Brain; Axial plane; Slice 56/155
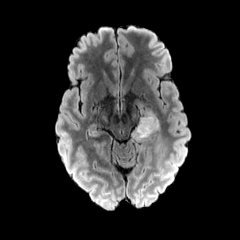
FLAIR MRI.
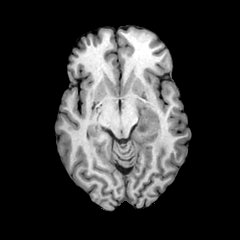
T1-weighted MRI.
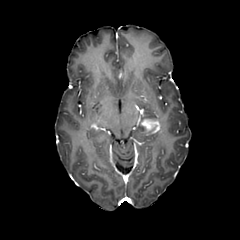
Same slice, post-contrast T1-weighted MR.
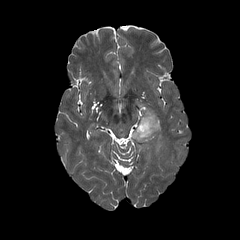
T2-weighted MRI.
enhancing tumor = <bbox>141, 117, 160, 133</bbox>
peritumoral edema = <bbox>132, 109, 156, 141</bbox>